Slice index 107 | Image size 240x240 | Head
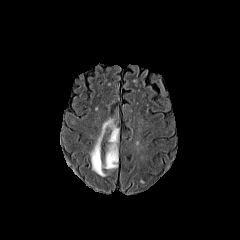
FLAIR MR image.
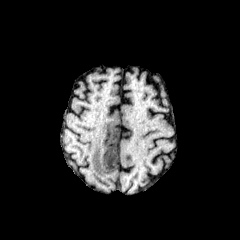
Same slice, T1-weighted magnetic resonance.
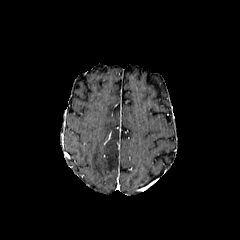
Post-contrast T1-weighted magnetic resonance.
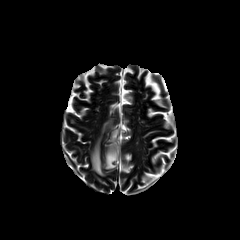
Same slice, T2-weighted magnetic resonance.
{"peritumoral_edema": ["region(90, 118, 118, 176)"]}